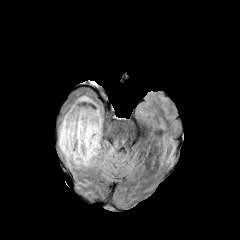
FLAIR MR.
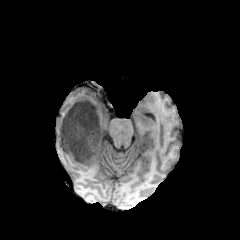
T1-weighted magnetic resonance.
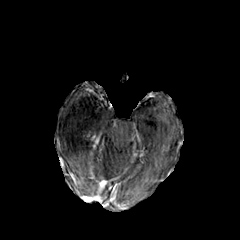
Post-contrast T1-weighted MR.
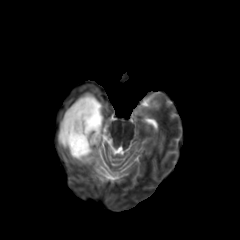
Same slice, T2-weighted MR.
Axial plane. 240x240. Head.
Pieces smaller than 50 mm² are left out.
The largest peritumoral edema region is bounded by 58, 93, 103, 168. The largest necrotic tumor core region is bounded by 65, 113, 99, 158. The largest enhancing tumor region lies within 91, 133, 100, 149.